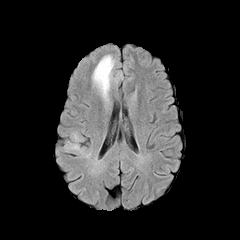
FLAIR MRI.
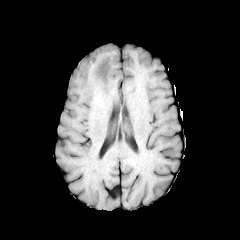
T1-weighted magnetic resonance.
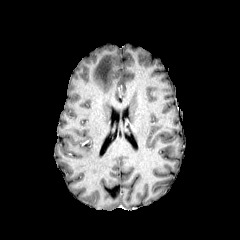
Post-contrast T1-weighted MRI of the same slice.
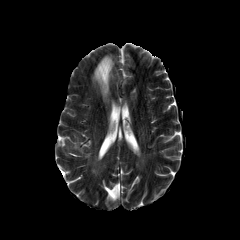
Same slice, T2-weighted MR image.
Head
The peritumoral edema lies within region(92, 55, 114, 100).